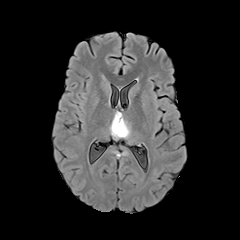
FLAIR magnetic resonance.
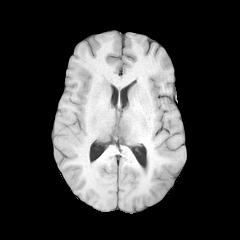
T1-weighted magnetic resonance.
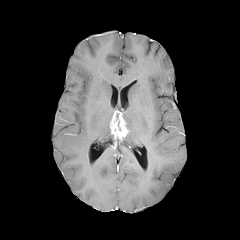
Same slice, post-contrast T1-weighted MR image.
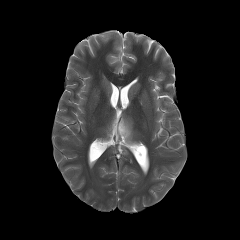
Same slice, T2-weighted MR image.
240x240 px
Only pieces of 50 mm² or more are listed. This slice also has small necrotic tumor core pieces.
enhancing tumor: bounding box {"x1": 110, "y1": 111, "x2": 128, "y2": 138}
peritumoral edema: bounding box {"x1": 122, "y1": 119, "x2": 131, "y2": 139}